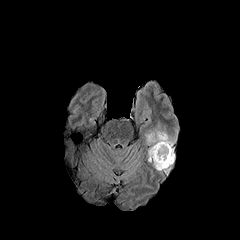
FLAIR MRI.
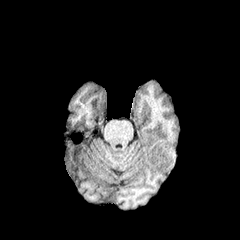
T1-weighted MR.
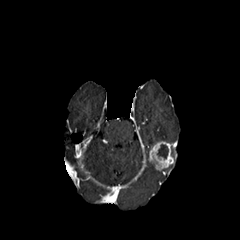
Post-contrast T1-weighted MR.
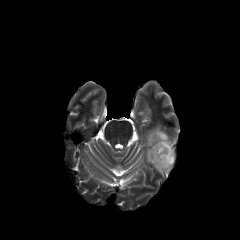
T2-weighted magnetic resonance of the same slice.
Head
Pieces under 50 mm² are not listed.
Findings:
* peritumoral edema: left=146, top=130, right=174, bottom=146
* necrotic tumor core: left=157, top=144, right=168, bottom=158
* enhancing tumor: left=148, top=141, right=174, bottom=170